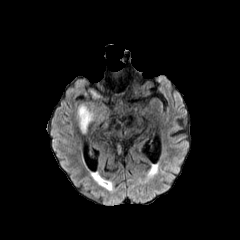
FLAIR MR image.
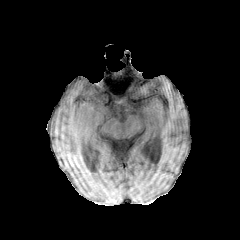
T1-weighted MR image.
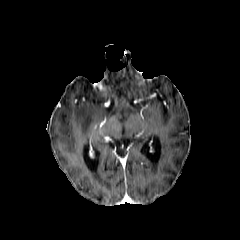
Post-contrast T1-weighted MR.
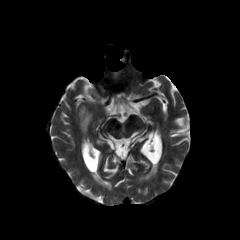
T2-weighted magnetic resonance of the same slice.
Head. Image size 240x240.
peritumoral_edema:
  - 78:106:92:131